Image covers 240 mm x 240 mm | Slice index 75
FLAIR MR image.
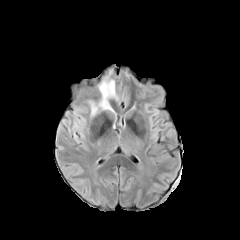
T1-weighted magnetic resonance.
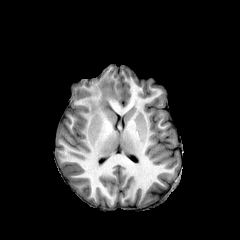
Post-contrast T1-weighted MR image.
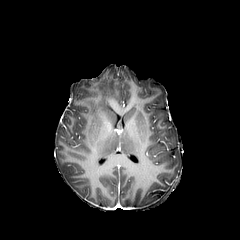
T2-weighted MRI.
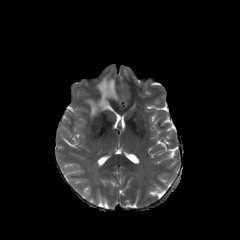
peritumoral edema = 88 76 118 115